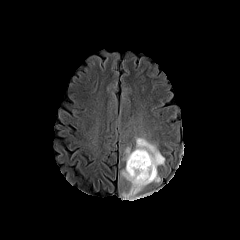
FLAIR MRI.
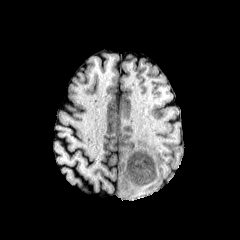
T1-weighted MR image.
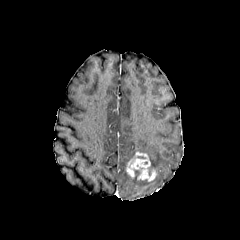
Same slice, post-contrast T1-weighted magnetic resonance.
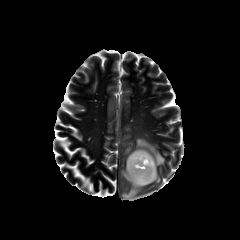
T2-weighted MR image.
Brain; Axial slice
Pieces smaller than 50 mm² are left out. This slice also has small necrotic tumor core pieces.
Findings:
* peritumoral edema: l=121, t=137, r=164, b=197
* enhancing tumor: l=126, t=151, r=156, b=181